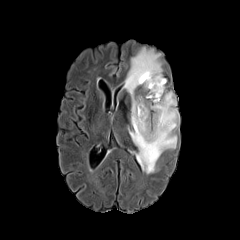
FLAIR MR image.
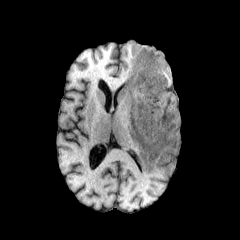
Same slice, T1-weighted MR image.
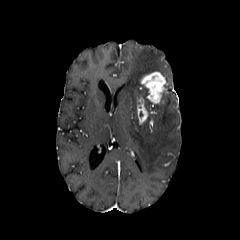
Same slice, post-contrast T1-weighted MRI.
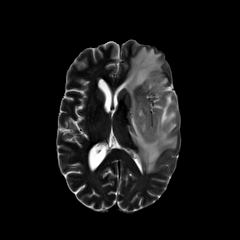
T2-weighted magnetic resonance.
Brain.
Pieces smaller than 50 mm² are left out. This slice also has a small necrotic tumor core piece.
enhancing tumor at (x1=140, y1=71, x2=166, y2=103), (x1=137, y1=97, x2=148, y2=124)
peritumoral edema at (x1=123, y1=47, x2=179, y2=173)